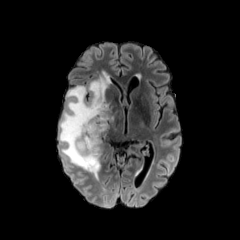
FLAIR MR.
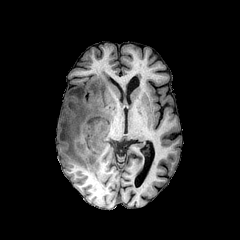
T1-weighted MRI.
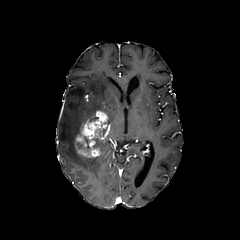
Same slice, post-contrast T1-weighted MRI.
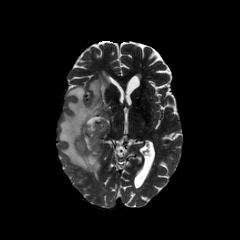
T2-weighted magnetic resonance.
Brain.
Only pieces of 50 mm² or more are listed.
peritumoral edema: (59, 73, 115, 176) | enhancing tumor: (74, 111, 110, 158) | necrotic tumor core: (92, 137, 100, 149), (76, 136, 91, 153)